Head. Image size 240x240. Image width 240 mm. Axial view.
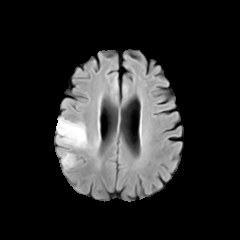
FLAIR MR.
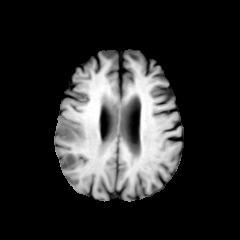
Same slice, T1-weighted magnetic resonance.
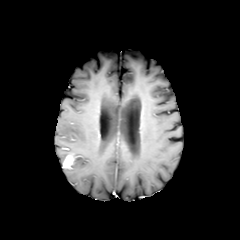
Post-contrast T1-weighted MR image.
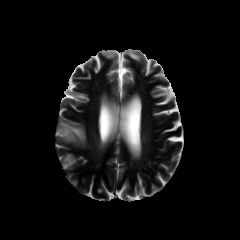
Same slice, T2-weighted MR.
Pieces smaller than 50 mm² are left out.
The enhancing tumor lies within [x1=63, y1=154, x2=74, y2=168]. The largest peritumoral edema region lies within [x1=56, y1=117, x2=90, y2=148].